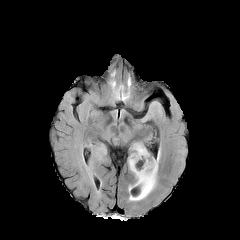
FLAIR MR image.
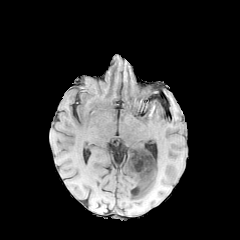
T1-weighted MR of the same slice.
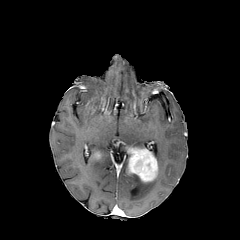
Post-contrast T1-weighted MR image of the same slice.
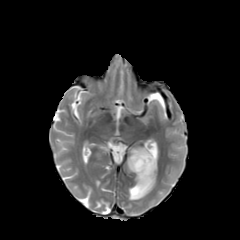
T2-weighted MRI of the same slice.
Image size 240x240, Head
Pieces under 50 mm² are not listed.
Annotated regions:
• enhancing tumor: (124,147,157,182)
• peritumoral edema: (128,174,156,200), (96,145,106,159)